FLAIR MR image.
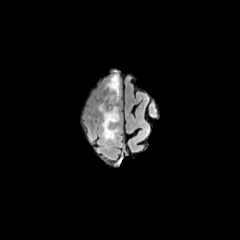
T1-weighted magnetic resonance.
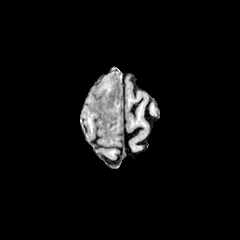
Post-contrast T1-weighted MR image.
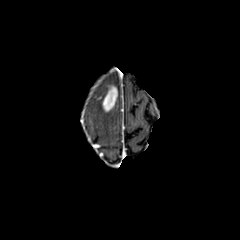
T2-weighted MR image.
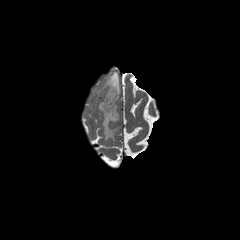
Axial view.
enhancing tumor: x1=102 y1=85 x2=117 y2=111
peritumoral edema: x1=99 y1=104 x2=119 y2=140, x1=106 y1=72 x2=119 y2=100